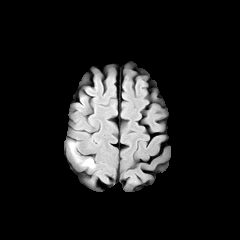
FLAIR magnetic resonance.
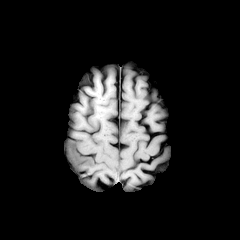
T1-weighted MR.
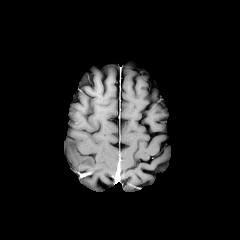
Post-contrast T1-weighted magnetic resonance.
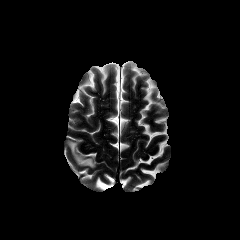
T2-weighted magnetic resonance of the same slice.
peritumoral edema = l=68, t=142, r=94, b=167